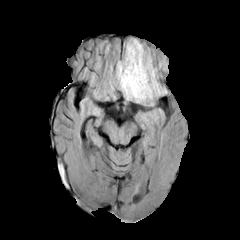
FLAIR MR image.
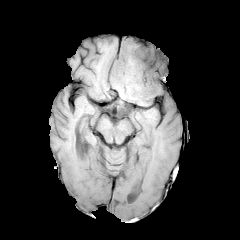
T1-weighted magnetic resonance.
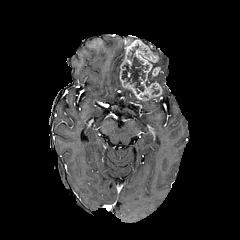
Post-contrast T1-weighted MR of the same slice.
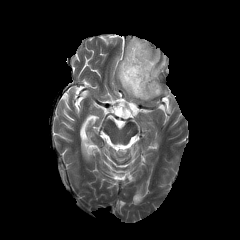
Same slice, T2-weighted MRI.
240x240
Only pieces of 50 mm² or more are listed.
The 2 largest enhancing tumor regions are bounded by [152,67,160,77], [119,39,162,101]. The largest necrotic tumor core region lies within [122,50,148,91]. The 2 largest peritumoral edema regions are located at [146,60,165,86], [116,61,143,102].